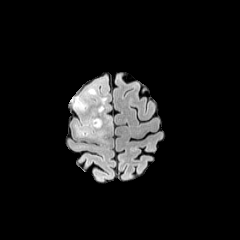
FLAIR MR.
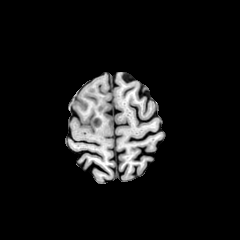
Same slice, T1-weighted MRI.
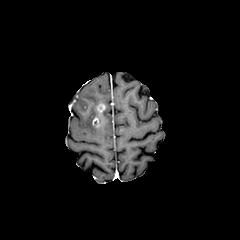
Post-contrast T1-weighted magnetic resonance.
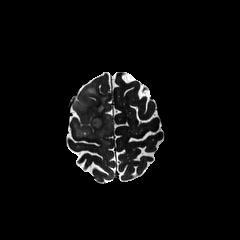
T2-weighted MRI of the same slice.
240x240
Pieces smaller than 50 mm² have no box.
Segmented structures:
- enhancing tumor: box=[92, 102, 106, 127]
- peritumoral edema: box=[87, 87, 96, 95]; box=[76, 119, 105, 139]; box=[72, 97, 88, 111]